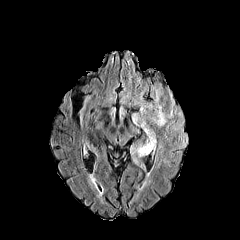
FLAIR MRI.
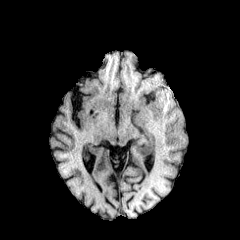
T1-weighted magnetic resonance.
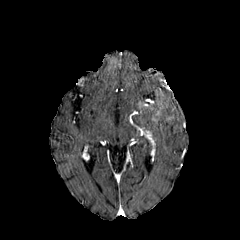
Post-contrast T1-weighted magnetic resonance of the same slice.
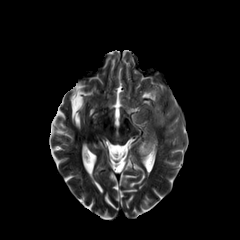
T2-weighted MR image of the same slice.
240x240, Axial view
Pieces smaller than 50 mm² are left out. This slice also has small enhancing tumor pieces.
2 peritumoral edema regions appear at left=135, top=140, right=151, bottom=156; left=132, top=82, right=172, bottom=131.